Brain, Slice 115 of 155, Image size 240x240
FLAIR MR image.
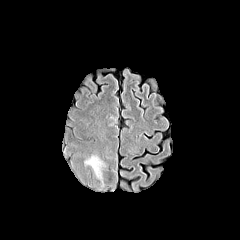
T1-weighted magnetic resonance.
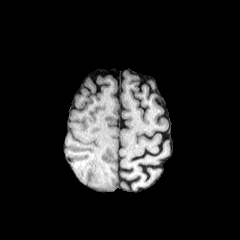
Post-contrast T1-weighted MR.
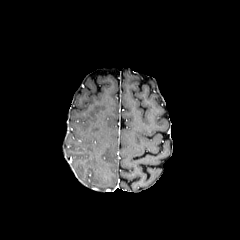
T2-weighted MRI.
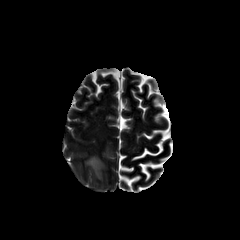
peritumoral_edema:
  - 83,154,106,182